Axial slice; Brain
FLAIR MR.
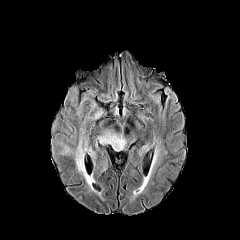
T1-weighted magnetic resonance.
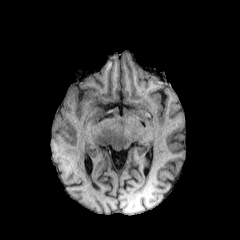
Post-contrast T1-weighted MRI.
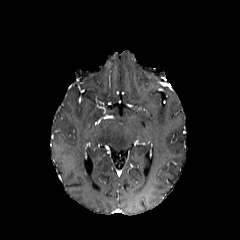
T2-weighted MR.
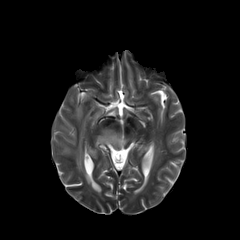
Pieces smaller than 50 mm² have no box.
peritumoral edema = 88, 148, 95, 158; 97, 129, 126, 152; 58, 120, 94, 188